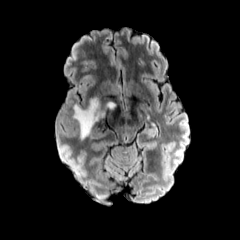
FLAIR MR image.
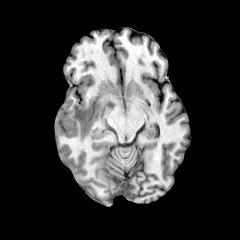
T1-weighted MR image of the same slice.
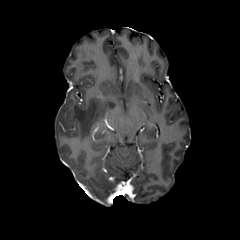
Same slice, post-contrast T1-weighted magnetic resonance.
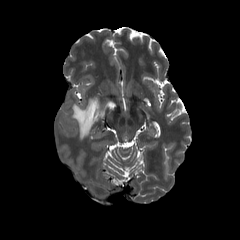
T2-weighted MR.
Axial plane
peritumoral_edema:
  - 73, 98, 104, 139
  - 105, 100, 115, 108